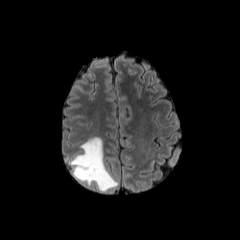
FLAIR magnetic resonance.
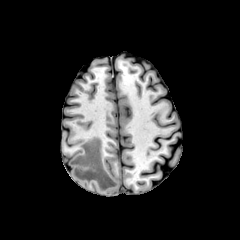
T1-weighted MRI.
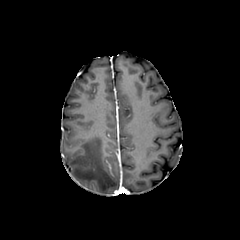
Post-contrast T1-weighted MR of the same slice.
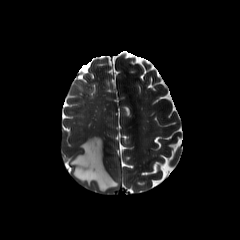
T2-weighted MR image of the same slice.
peritumoral_edema:
  - x1=70, y1=137, x2=118, y2=192